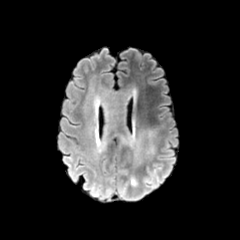
FLAIR magnetic resonance.
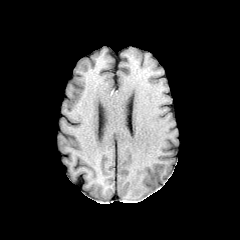
T1-weighted MR image.
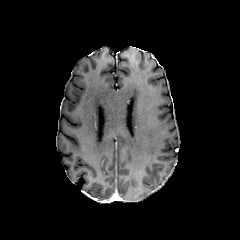
Same slice, post-contrast T1-weighted magnetic resonance.
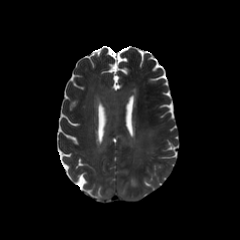
T2-weighted MR of the same slice.
Brain; 240x240; Axial view
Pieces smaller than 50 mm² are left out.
The 2 largest peritumoral edema regions are located at l=98, t=90, r=130, b=137; l=124, t=130, r=158, b=167.